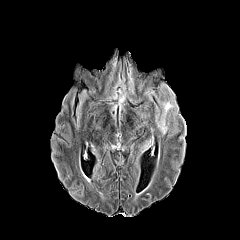
FLAIR MRI.
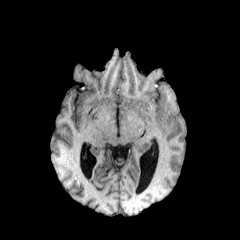
T1-weighted MR.
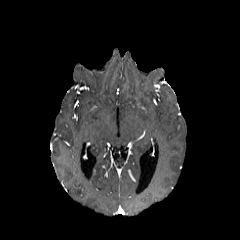
Post-contrast T1-weighted MR image of the same slice.
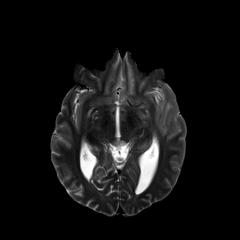
Same slice, T2-weighted MR image.
Axial view, Brain
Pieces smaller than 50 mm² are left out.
peritumoral_edema:
  - rect(155, 102, 177, 135)